FLAIR magnetic resonance.
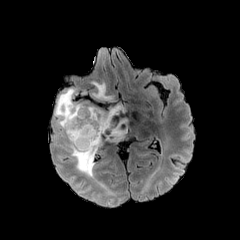
T1-weighted MRI.
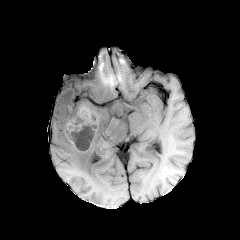
Post-contrast T1-weighted MR image.
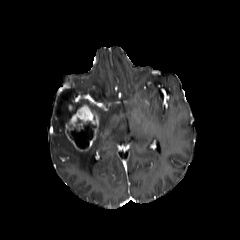
T2-weighted MR.
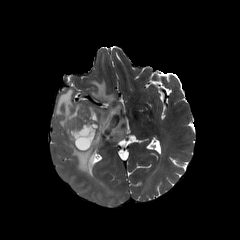
Brain | Axial slice
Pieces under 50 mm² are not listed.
peritumoral_edema:
  - [55,88,86,130]
  - [62,102,129,177]
  - [91,81,115,101]
necrotic_tumor_core:
  - [67,122,96,149]
enhancing_tumor:
  - [66,105,98,151]